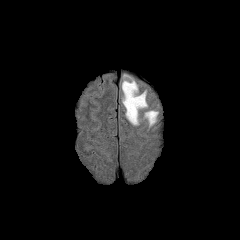
FLAIR MR image.
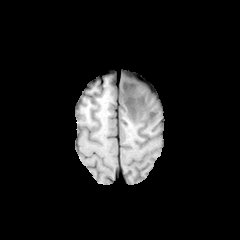
T1-weighted MR.
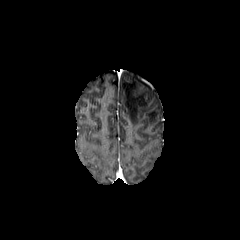
Post-contrast T1-weighted MR of the same slice.
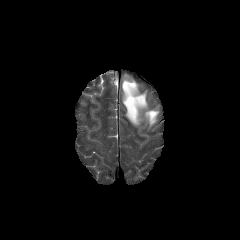
T2-weighted MRI of the same slice.
Brain.
peritumoral edema: bounding box {"x1": 143, "y1": 110, "x2": 158, "y2": 126}, {"x1": 121, "y1": 74, "x2": 147, "y2": 125}